FLAIR MR.
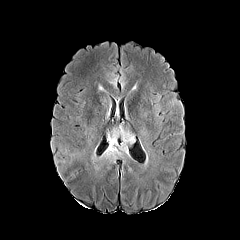
T1-weighted MRI.
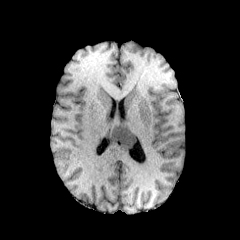
Post-contrast T1-weighted MR.
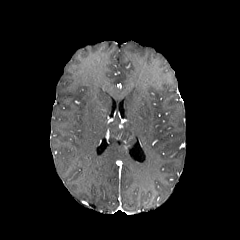
T2-weighted MR image.
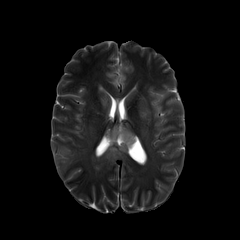
Brain. 240x240.
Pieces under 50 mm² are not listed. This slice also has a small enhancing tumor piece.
<segmentation>
  <peritumoral_edema>(x1=101, y1=125, x2=134, y2=161)</peritumoral_edema>
</segmentation>